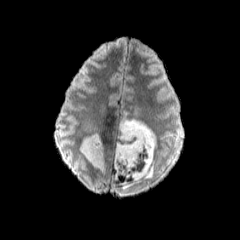
FLAIR MR image.
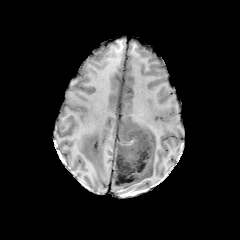
T1-weighted MR image.
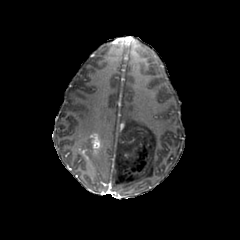
Post-contrast T1-weighted magnetic resonance.
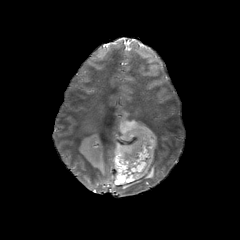
T2-weighted MR.
Head.
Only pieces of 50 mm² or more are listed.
- enhancing tumor: (x1=82, y1=132, x2=103, y2=162)
- peritumoral edema: (x1=79, y1=134, x2=93, y2=153), (x1=114, y1=106, x2=156, y2=189), (x1=92, y1=154, x2=104, y2=172)